Slice 117 of 155
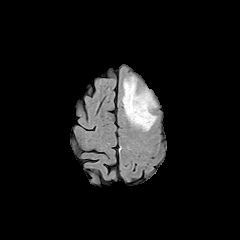
FLAIR MRI.
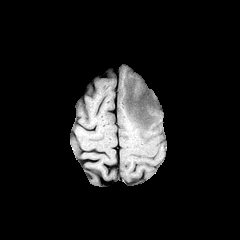
Same slice, T1-weighted MR image.
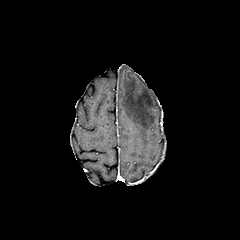
Post-contrast T1-weighted MR of the same slice.
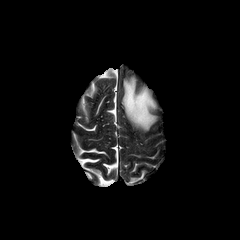
Same slice, T2-weighted MR.
The peritumoral edema is at 122,77,156,130.